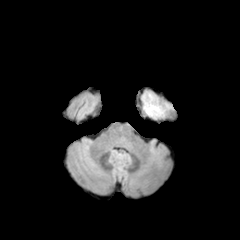
FLAIR MR image.
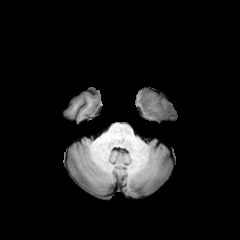
Same slice, T1-weighted magnetic resonance.
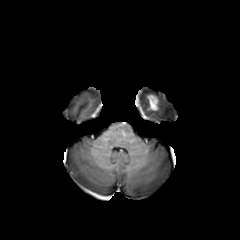
Post-contrast T1-weighted MR image of the same slice.
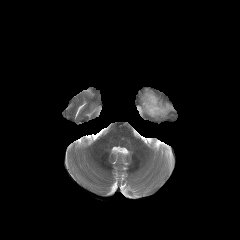
Same slice, T2-weighted MR.
240x240 px | Axial plane | Brain
{
  "peritumoral_edema": [
    "region(141, 92, 172, 117)"
  ],
  "enhancing_tumor": [
    "region(147, 94, 158, 110)"
  ]
}